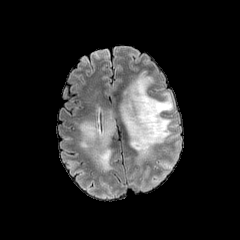
FLAIR MRI.
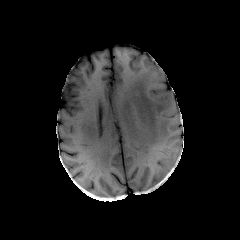
T1-weighted magnetic resonance.
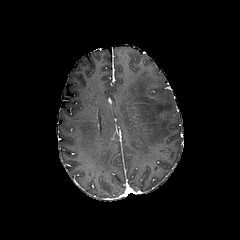
Same slice, post-contrast T1-weighted MR.
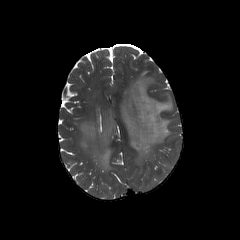
T2-weighted MR image.
Axial slice | Head
peritumoral edema = region(79, 110, 115, 171); region(120, 71, 173, 162)